FLAIR magnetic resonance.
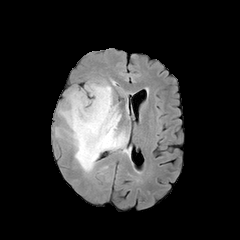
T1-weighted MR.
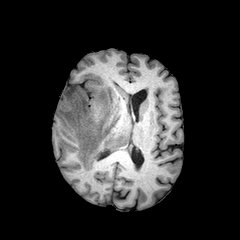
Post-contrast T1-weighted MR image.
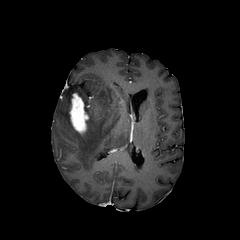
T2-weighted magnetic resonance.
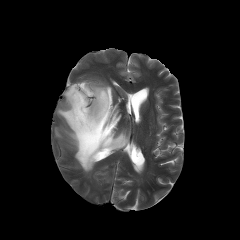
Axial slice | Brain
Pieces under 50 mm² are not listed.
enhancing tumor: 69,93,88,134
peritumoral edema: 57,82,128,172